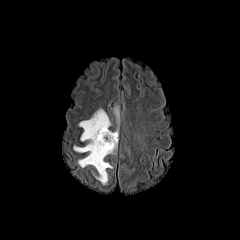
FLAIR MRI.
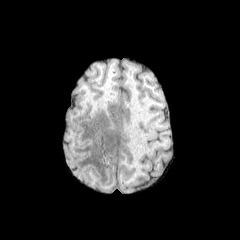
Same slice, T1-weighted MR.
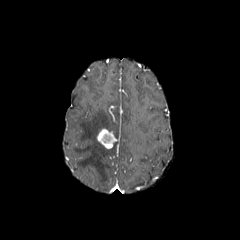
Post-contrast T1-weighted magnetic resonance.
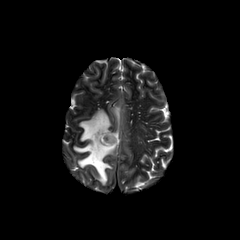
Same slice, T2-weighted magnetic resonance.
Axial plane. Image size 240x240.
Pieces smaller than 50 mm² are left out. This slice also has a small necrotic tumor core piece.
enhancing tumor = <box>97,128,117,148</box>
peritumoral edema = <box>73,109,117,184</box>, <box>114,107,119,122</box>